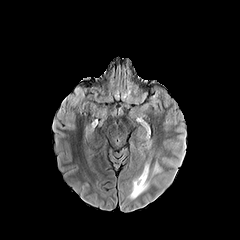
FLAIR magnetic resonance.
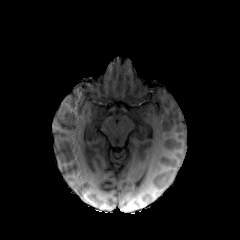
Same slice, T1-weighted magnetic resonance.
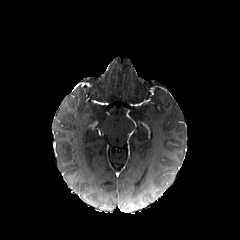
Post-contrast T1-weighted MR.
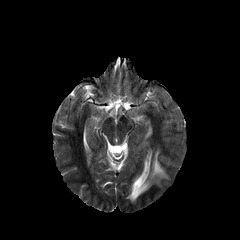
T2-weighted MRI of the same slice.
240x240 px | Brain
peritumoral edema — 126:158:152:201, 152:159:163:175